Head | Image width 240 mm | Axial plane
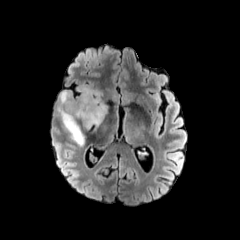
FLAIR MR image.
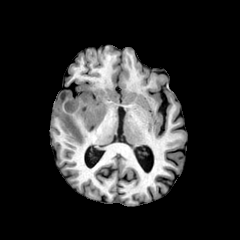
T1-weighted MRI.
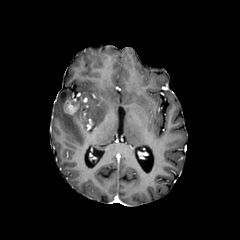
Post-contrast T1-weighted MRI.
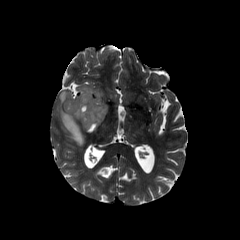
Same slice, T2-weighted MR image.
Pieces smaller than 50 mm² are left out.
{
  "enhancing_tumor": [
    "bbox(81, 105, 92, 129)",
    "bbox(65, 100, 79, 114)"
  ],
  "peritumoral_edema": [
    "bbox(57, 87, 107, 146)"
  ]
}